FLAIR MR image.
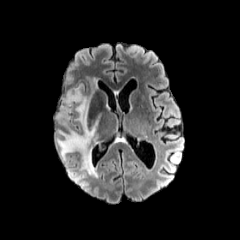
T1-weighted MR.
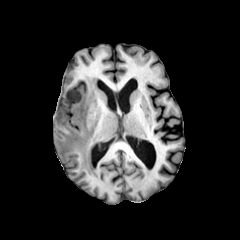
Post-contrast T1-weighted MR.
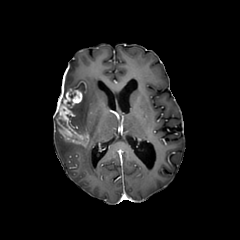
T2-weighted magnetic resonance.
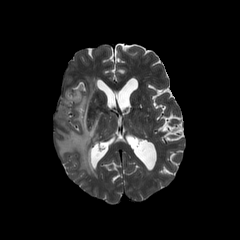
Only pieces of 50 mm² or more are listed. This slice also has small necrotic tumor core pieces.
enhancing tumor: box=[56, 89, 89, 146] | peritumoral edema: box=[57, 79, 98, 177]